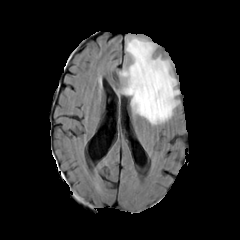
FLAIR MRI.
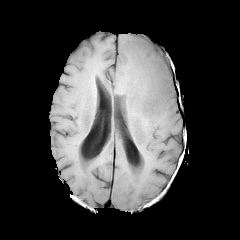
T1-weighted MRI of the same slice.
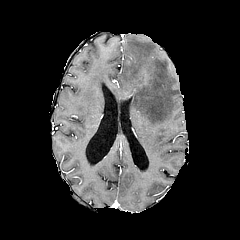
Same slice, post-contrast T1-weighted MR.
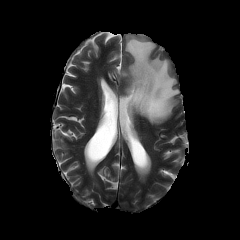
T2-weighted magnetic resonance of the same slice.
Brain.
<segmentation>
  <peritumoral_edema>[119,36,176,124]</peritumoral_edema>
</segmentation>